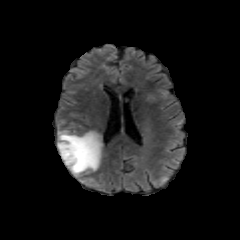
FLAIR MRI.
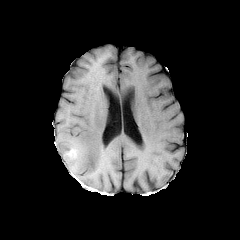
T1-weighted magnetic resonance.
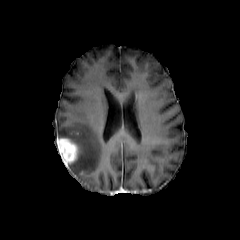
Same slice, post-contrast T1-weighted magnetic resonance.
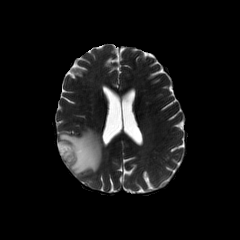
T2-weighted MRI.
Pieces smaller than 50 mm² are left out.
Findings:
• enhancing tumor: x1=58, y1=138, x2=79, y2=167
• peritumoral edema: x1=57, y1=128, x2=102, y2=177